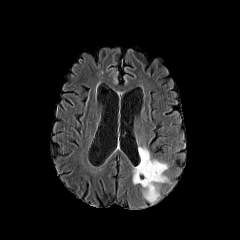
FLAIR MRI.
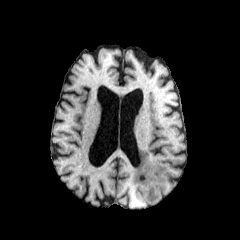
Same slice, T1-weighted MR.
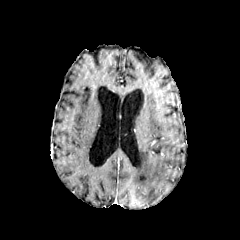
Post-contrast T1-weighted MR image of the same slice.
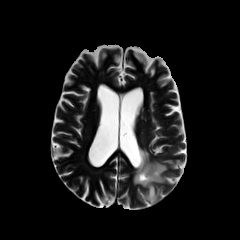
T2-weighted MR image of the same slice.
Axial slice.
{
  "peritumoral_edema": [
    "l=133, t=147, r=167, b=203"
  ]
}